FLAIR MR.
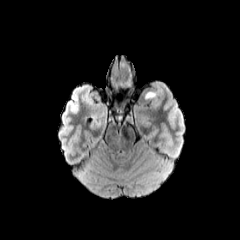
T1-weighted MR.
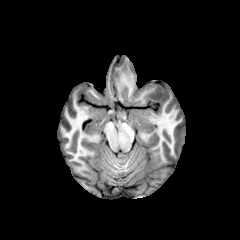
Post-contrast T1-weighted MR.
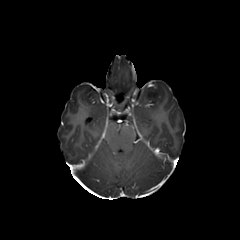
T2-weighted MR.
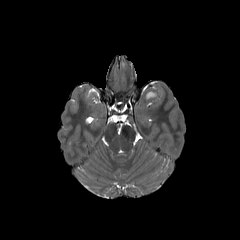
Brain | Axial view | 240x240 px
{"peritumoral_edema": ["l=145, t=92, r=158, b=98"]}